FLAIR magnetic resonance.
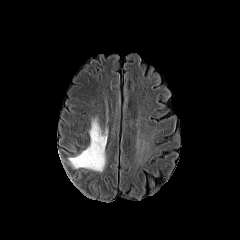
T1-weighted magnetic resonance.
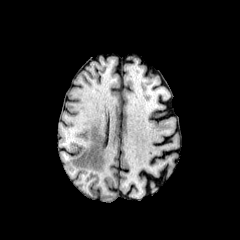
Post-contrast T1-weighted MRI.
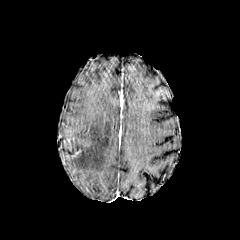
T2-weighted MR image.
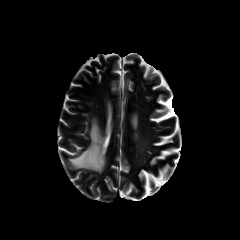
Brain
<segmentation>
  <peritumoral_edema>x1=69 y1=118 x2=106 y2=171</peritumoral_edema>
</segmentation>